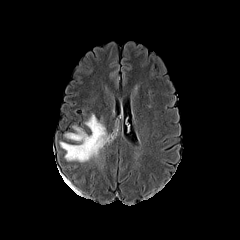
FLAIR MR image.
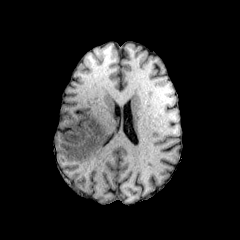
T1-weighted MR image.
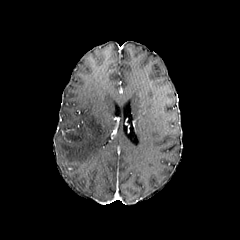
Post-contrast T1-weighted MR.
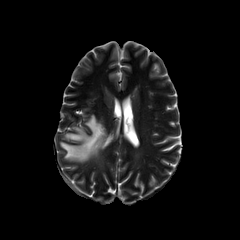
Same slice, T2-weighted magnetic resonance.
Axial slice.
peritumoral_edema:
  - region(60, 114, 108, 162)